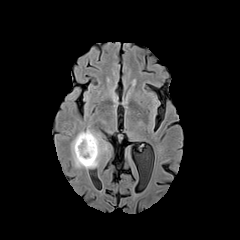
FLAIR magnetic resonance.
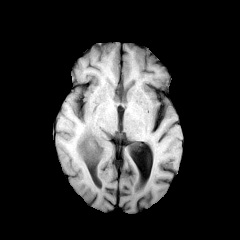
T1-weighted MRI.
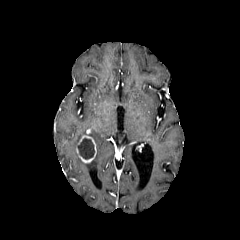
Same slice, post-contrast T1-weighted magnetic resonance.
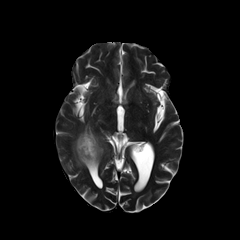
Same slice, T2-weighted MR.
Axial plane
Segmented structures:
• enhancing tumor: (left=76, top=135, right=96, bottom=162)
• necrotic tumor core: (left=77, top=138, right=94, bottom=159)
• peritumoral edema: (left=70, top=126, right=111, bottom=168)